Head. Slice 46/155.
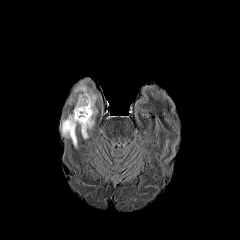
FLAIR MR.
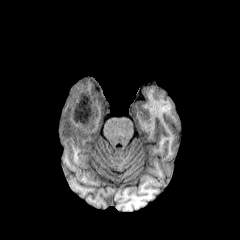
Same slice, T1-weighted MRI.
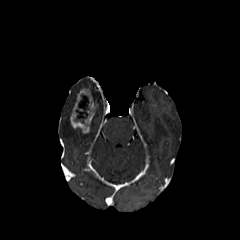
Same slice, post-contrast T1-weighted MR.
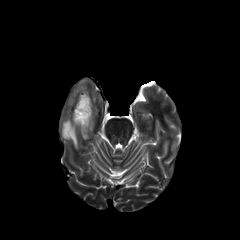
T2-weighted MRI.
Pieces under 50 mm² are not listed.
necrotic_tumor_core:
  - (x1=74, y1=94, x2=89, y2=123)
peritumoral_edema:
  - (x1=61, y1=114, x2=77, y2=148)
  - (x1=90, y1=108, x2=97, y2=130)
  - (x1=89, y1=89, x2=100, y2=102)
  - (x1=67, y1=79, x2=89, y2=105)
enhancing_tumor:
  - (x1=70, y1=88, x2=96, y2=133)